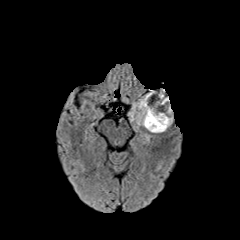
FLAIR MR image.
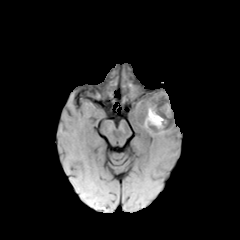
Same slice, T1-weighted MR image.
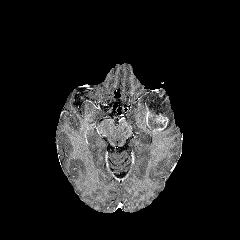
Same slice, post-contrast T1-weighted MR image.
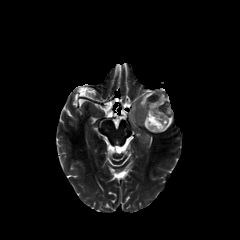
T2-weighted MR.
Image size 240x240, Head
{
  "necrotic_tumor_core": [
    "box=[146, 92, 167, 128]"
  ],
  "peritumoral_edema": [
    "box=[129, 89, 164, 132]",
    "box=[154, 95, 173, 133]"
  ],
  "enhancing_tumor": [
    "box=[143, 105, 151, 128]",
    "box=[153, 113, 168, 132]"
  ]
}